FLAIR magnetic resonance.
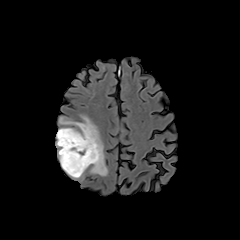
T1-weighted magnetic resonance.
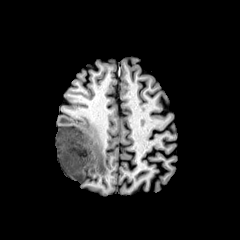
Post-contrast T1-weighted MRI.
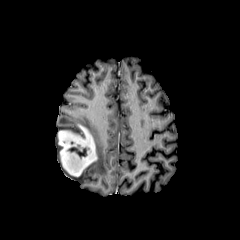
T2-weighted magnetic resonance.
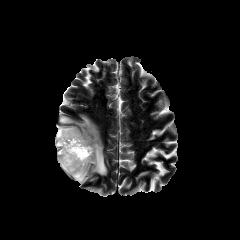
240x240; Head; Axial plane
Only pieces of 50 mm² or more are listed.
peritumoral_edema:
  - [58,115,107,181]
  - [56,132,62,167]
necrotic_tumor_core:
  - [68,145,88,157]
enhancing_tumor:
  - [58,124,97,176]